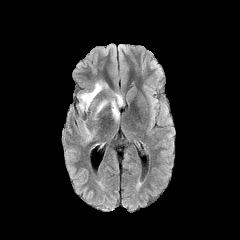
FLAIR MR image.
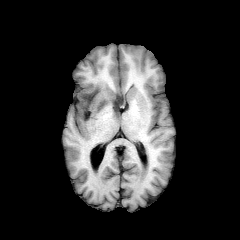
T1-weighted magnetic resonance of the same slice.
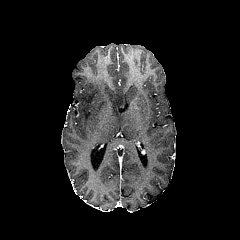
Post-contrast T1-weighted MRI.
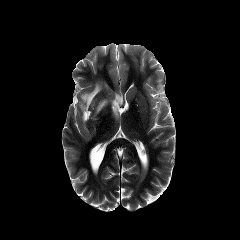
T2-weighted MRI of the same slice.
Brain; 240x240 px
3 peritumoral edema regions are bounded by x1=93 y1=93 x2=123 y2=121, x1=77 y1=82 x2=107 y2=112, x1=78 y1=120 x2=95 y2=142.